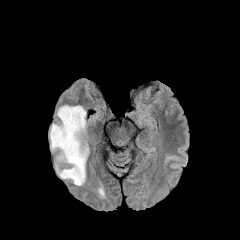
FLAIR MR image.
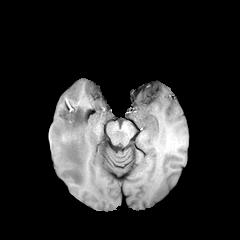
T1-weighted MR image.
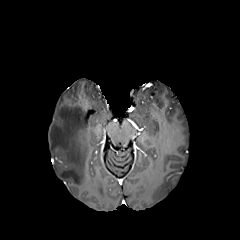
Same slice, post-contrast T1-weighted MR.
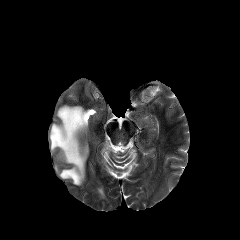
T2-weighted magnetic resonance.
Head. Axial view. 240x240.
peritumoral edema: (x1=49, y1=105, x2=89, y2=185)